Brain, Axial slice
FLAIR MRI.
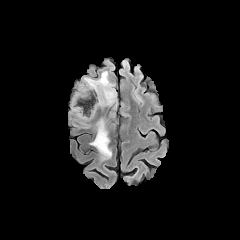
T1-weighted MRI.
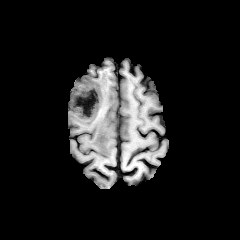
Post-contrast T1-weighted MR.
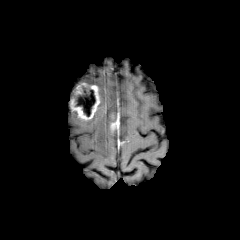
T2-weighted MR.
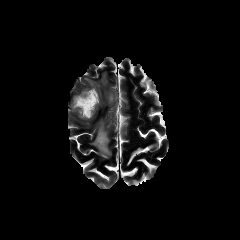
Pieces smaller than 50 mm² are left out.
{
  "enhancing_tumor": [
    "l=70, t=82, r=100, b=120",
    "l=111, t=118, r=119, b=129"
  ],
  "necrotic_tumor_core": [
    "l=75, t=86, r=95, b=116"
  ],
  "peritumoral_edema": [
    "l=84, t=71, r=115, b=105",
    "l=91, t=119, r=111, b=158"
  ]
}